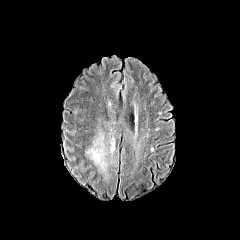
FLAIR MR.
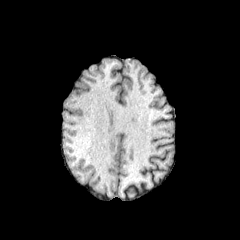
T1-weighted MR image.
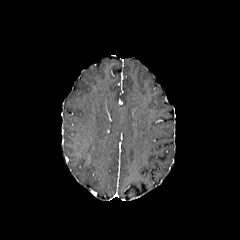
Post-contrast T1-weighted magnetic resonance of the same slice.
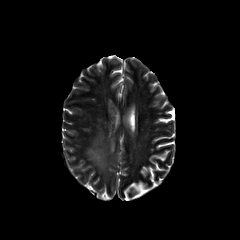
Same slice, T2-weighted MR image.
Axial view; Image size 240x240; Brain
peritumoral edema: bbox(110, 137, 114, 153); bbox(87, 135, 108, 171)